Brain, Axial slice
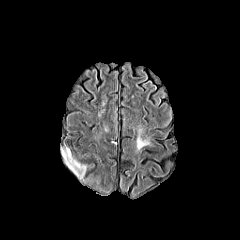
FLAIR magnetic resonance.
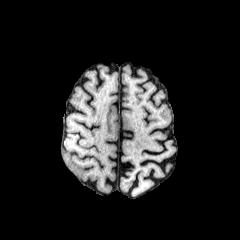
Same slice, T1-weighted MR image.
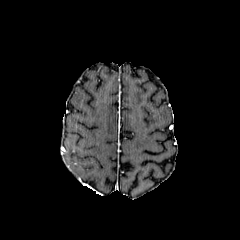
Post-contrast T1-weighted MR image.
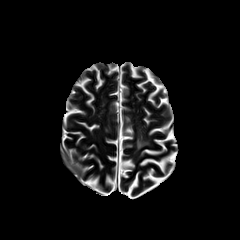
T2-weighted MR.
<segmentation>
  <peritumoral_edema>left=63, top=147, right=87, bottom=178</peritumoral_edema>
</segmentation>